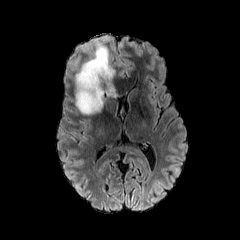
FLAIR MR image.
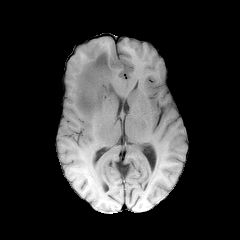
T1-weighted MR.
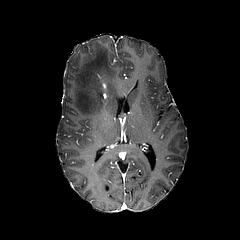
Same slice, post-contrast T1-weighted MR image.
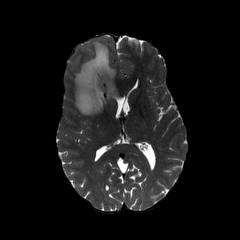
T2-weighted MRI of the same slice.
Axial view; 240x240 px; Head
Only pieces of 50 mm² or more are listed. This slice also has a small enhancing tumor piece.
The peritumoral edema is bounded by [75,41,115,114].